Head | Slice 84/155
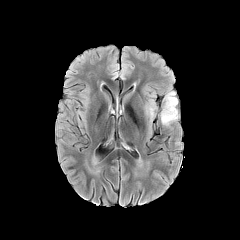
FLAIR MR image.
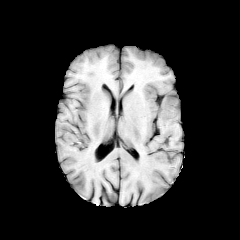
T1-weighted MR of the same slice.
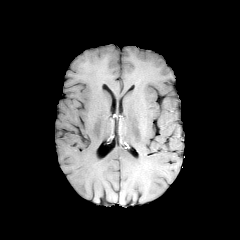
Same slice, post-contrast T1-weighted MRI.
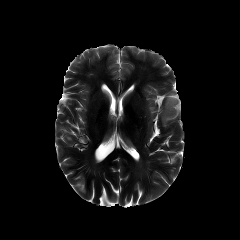
T2-weighted MR.
* peritumoral edema: rect(161, 91, 178, 125); rect(147, 102, 155, 118)